Image covers 240 mm x 240 mm.
FLAIR magnetic resonance.
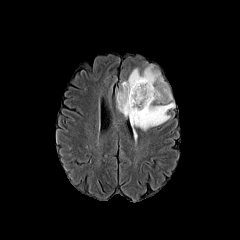
T1-weighted MRI.
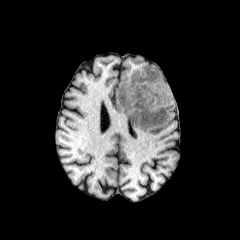
Post-contrast T1-weighted MRI.
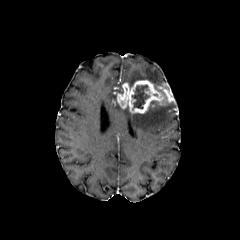
T2-weighted MRI.
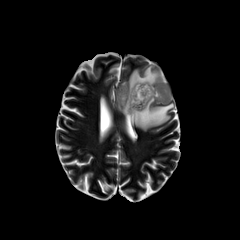
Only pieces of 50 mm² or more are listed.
The largest necrotic tumor core region is bounded by 132:85:149:109. 2 peritumoral edema regions appear at 117:102:174:130, 122:65:163:85. The enhancing tumor lies within 117:80:173:113.